Head | Slice 114/155 | Image width 240 mm | Axial slice | Image size 240x240
FLAIR MRI.
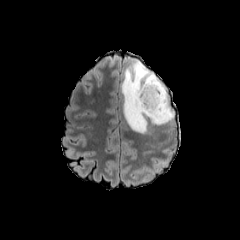
T1-weighted magnetic resonance.
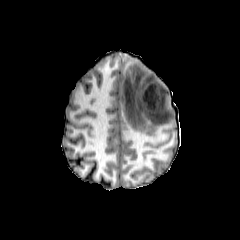
Post-contrast T1-weighted MR image.
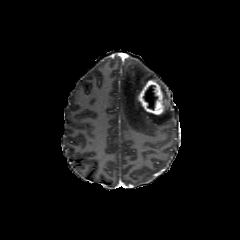
T2-weighted magnetic resonance.
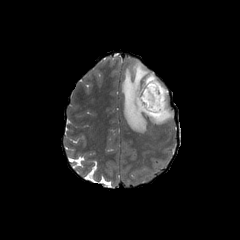
Segmented structures:
• necrotic tumor core: region(143, 85, 157, 109)
• peritumoral edema: region(121, 60, 174, 133)
• enhancing tumor: region(137, 79, 166, 115)